Image size 240x240. Head.
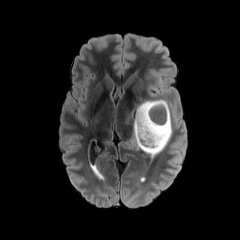
FLAIR magnetic resonance.
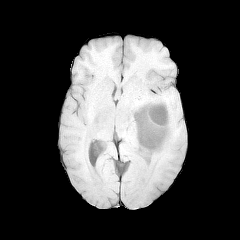
T1-weighted MR.
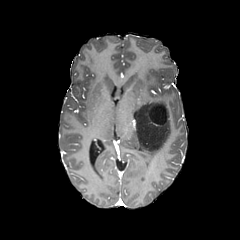
Post-contrast T1-weighted magnetic resonance.
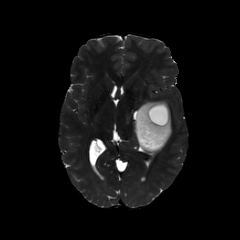
T2-weighted MRI of the same slice.
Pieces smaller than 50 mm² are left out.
Annotated regions:
* necrotic tumor core: <box>149,104,168,124</box>
* peritumoral edema: <box>134,101,172,155</box>
* enhancing tumor: <box>148,114,168,125</box>